FLAIR magnetic resonance.
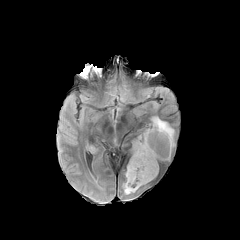
T1-weighted magnetic resonance.
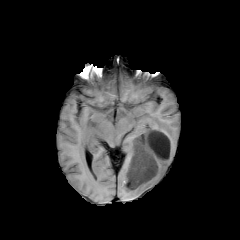
Post-contrast T1-weighted MR image.
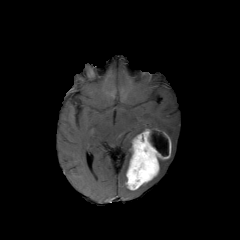
T2-weighted MRI.
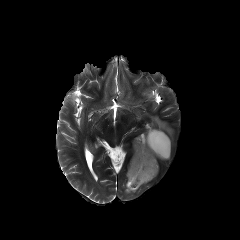
240x240
peritumoral edema — bbox=[124, 184, 135, 194]; bbox=[153, 117, 173, 145]
necrotic tumor core — bbox=[150, 129, 168, 156]
enhancing tumor — bbox=[126, 128, 171, 190]